Brain, Image width 240 mm, 1.00 mm slice spacing, Axial slice
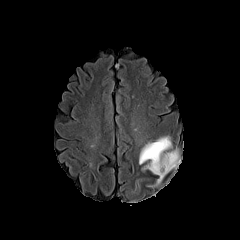
FLAIR MR.
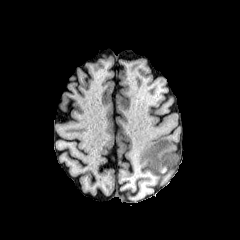
Same slice, T1-weighted MR image.
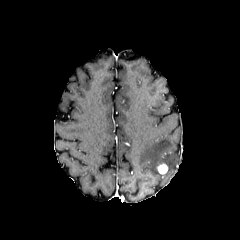
Post-contrast T1-weighted MR of the same slice.
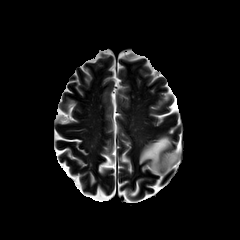
Same slice, T2-weighted magnetic resonance.
The peritumoral edema is at box=[139, 136, 180, 184]. The enhancing tumor is bounded by box=[157, 163, 168, 174].